FLAIR MR.
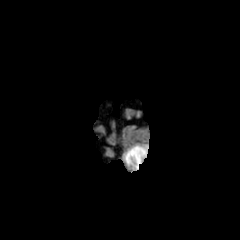
T1-weighted MR.
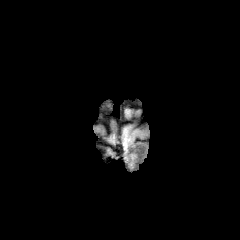
Post-contrast T1-weighted MR.
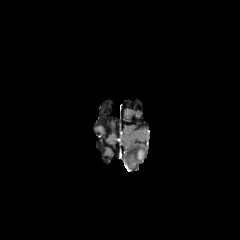
T2-weighted MR image.
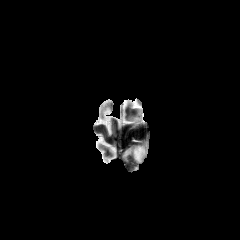
Axial view | 240x240 px | Head
enhancing_tumor:
  - [x1=137, y1=149, x2=144, y2=160]
peritumoral_edema:
  - [x1=124, y1=145, x2=148, y2=169]